FLAIR MR.
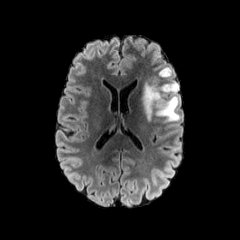
T1-weighted MR.
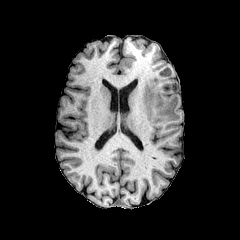
Post-contrast T1-weighted MR.
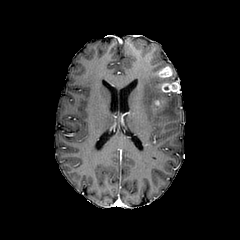
T2-weighted MR image.
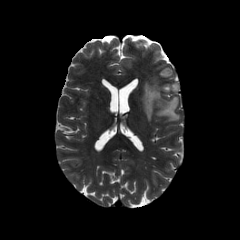
Axial plane
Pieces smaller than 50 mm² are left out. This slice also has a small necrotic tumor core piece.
<segmentation>
  <peritumoral_edema>box(140, 82, 179, 123)</peritumoral_edema>
  <enhancing_tumor>box(161, 82, 179, 92); box(153, 98, 166, 110); box(158, 66, 172, 78)</enhancing_tumor>
</segmentation>